240x240. Brain. Axial plane.
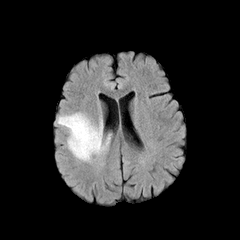
FLAIR MR image.
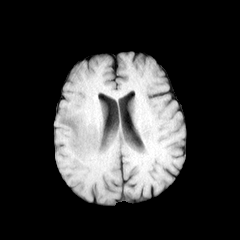
T1-weighted MRI.
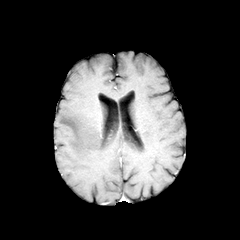
Post-contrast T1-weighted MRI.
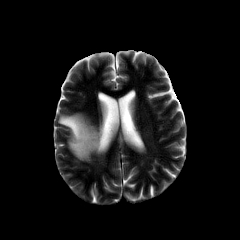
T2-weighted MRI.
peritumoral edema = rect(58, 113, 110, 161)